FLAIR MR.
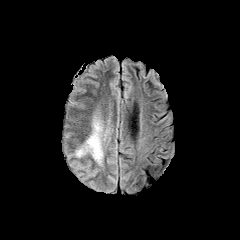
T1-weighted MR.
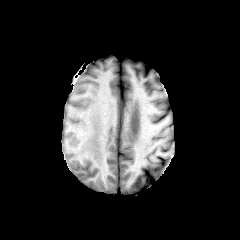
Post-contrast T1-weighted MR.
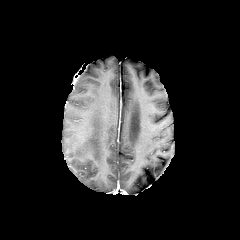
T2-weighted MR.
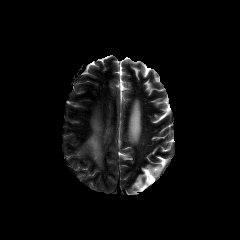
240x240 px, Axial plane
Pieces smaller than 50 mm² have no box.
peritumoral_edema:
  - box(88, 136, 100, 158)